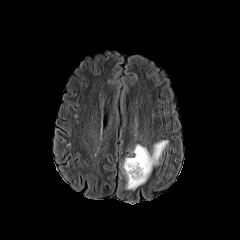
FLAIR magnetic resonance.
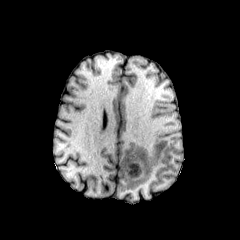
Same slice, T1-weighted MR.
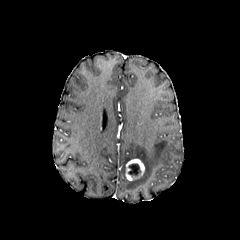
Post-contrast T1-weighted MRI.
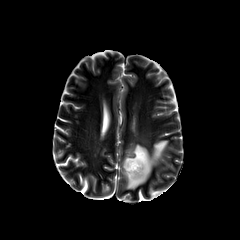
T2-weighted magnetic resonance.
Brain
peritumoral_edema:
  - bbox=[122, 140, 168, 190]
necrotic_tumor_core:
  - bbox=[128, 164, 140, 175]
enhancing_tumor:
  - bbox=[125, 158, 144, 181]